Brain; 240x240; Image width 240 mm, 1.00 mm slice spacing
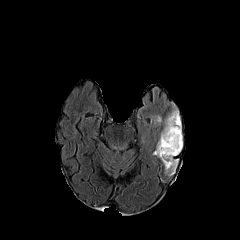
FLAIR MRI.
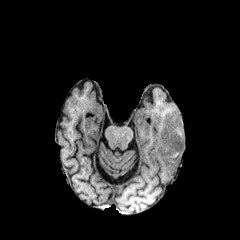
Same slice, T1-weighted MR.
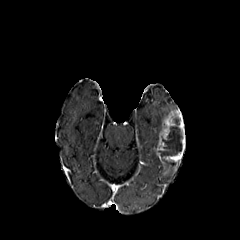
Post-contrast T1-weighted magnetic resonance of the same slice.
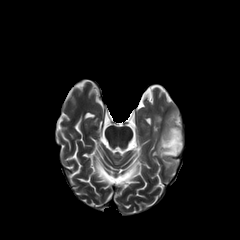
T2-weighted MRI of the same slice.
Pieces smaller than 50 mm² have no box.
<segmentation>
  <peritumoral_edema>152:115:162:125</peritumoral_edema>
  <necrotic_tumor_core>162:159:175:167, 159:126:182:156</necrotic_tumor_core>
  <enhancing_tumor>156:108:185:174</enhancing_tumor>
</segmentation>